FLAIR magnetic resonance.
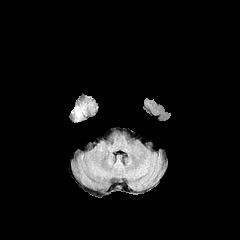
T1-weighted magnetic resonance.
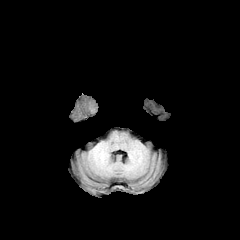
Post-contrast T1-weighted magnetic resonance.
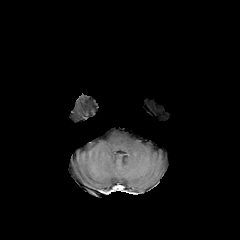
T2-weighted MR image.
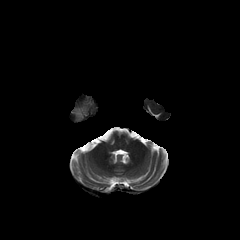
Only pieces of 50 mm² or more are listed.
peritumoral edema at (left=73, top=105, right=86, bottom=120)